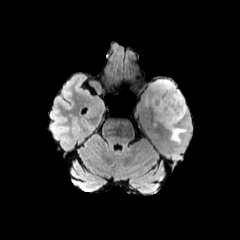
FLAIR MR image.
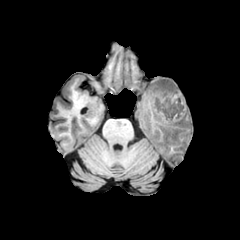
T1-weighted MRI.
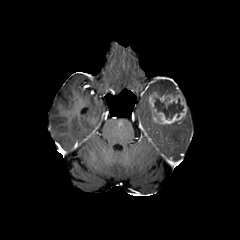
Post-contrast T1-weighted MR.
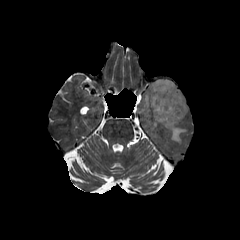
T2-weighted MRI.
240x240. Axial slice.
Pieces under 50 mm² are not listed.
{
  "peritumoral_edema": [
    "box(165, 121, 186, 144)",
    "box(150, 79, 181, 95)"
  ],
  "enhancing_tumor": [
    "box(148, 91, 187, 124)"
  ],
  "necrotic_tumor_core": [
    "box(154, 98, 183, 118)"
  ]
}